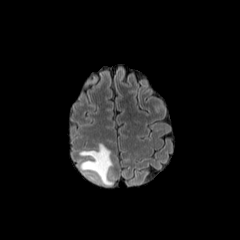
FLAIR MR image.
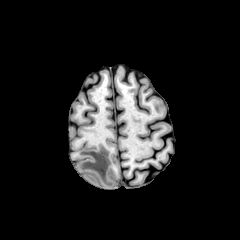
T1-weighted MR.
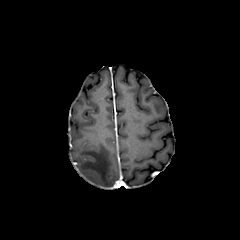
Post-contrast T1-weighted MR.
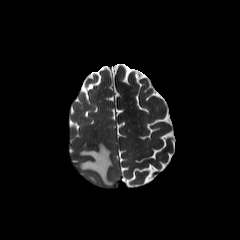
T2-weighted magnetic resonance.
Axial plane
2 peritumoral edema regions are located at (left=79, top=143, right=113, bottom=185), (left=87, top=175, right=97, bottom=182).